Slice 68/155
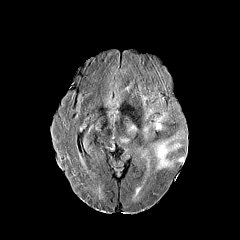
FLAIR MRI.
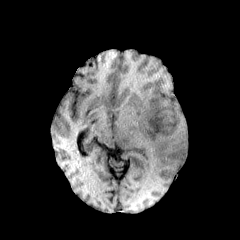
T1-weighted MR image.
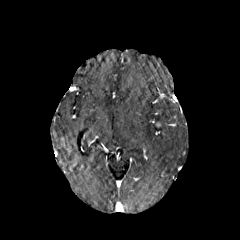
Post-contrast T1-weighted MRI.
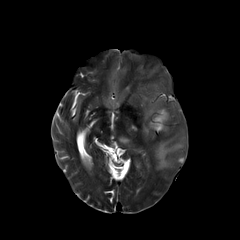
T2-weighted MRI of the same slice.
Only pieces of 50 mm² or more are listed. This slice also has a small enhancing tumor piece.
peritumoral edema — x1=153 y1=113 x2=165 y2=130, x1=150 y1=140 x2=179 y2=169